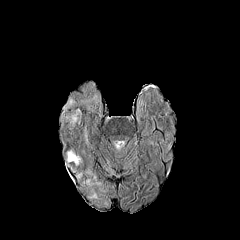
FLAIR MRI.
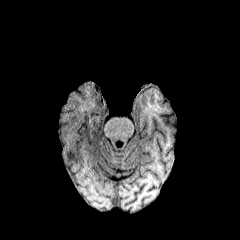
T1-weighted MR image.
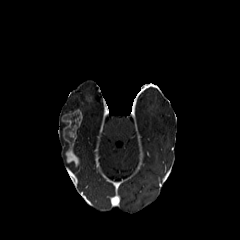
Post-contrast T1-weighted MR.
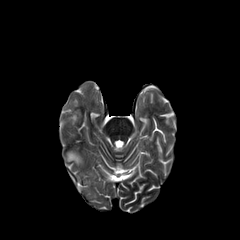
T2-weighted MR.
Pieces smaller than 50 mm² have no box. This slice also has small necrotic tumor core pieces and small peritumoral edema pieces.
The enhancing tumor appears at <box>62,109,82,164</box>.